Image covers 240 mm x 240 mm | Slice index 62 | Axial view
FLAIR magnetic resonance.
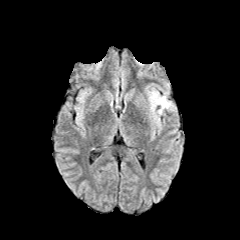
T1-weighted magnetic resonance.
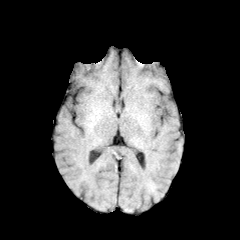
Post-contrast T1-weighted MR.
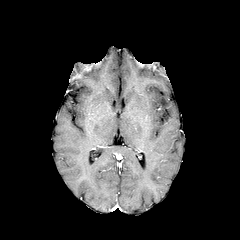
T2-weighted MR image.
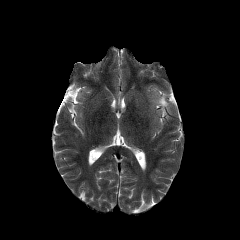
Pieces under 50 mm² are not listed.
peritumoral_edema:
  - region(150, 91, 170, 109)